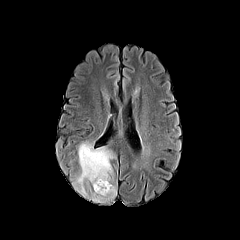
FLAIR MR.
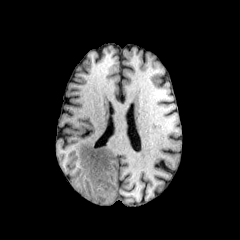
T1-weighted MR image.
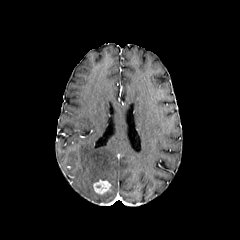
Same slice, post-contrast T1-weighted MRI.
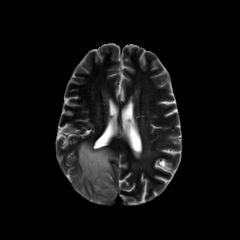
Same slice, T2-weighted magnetic resonance.
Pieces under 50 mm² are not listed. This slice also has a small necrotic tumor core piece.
enhancing tumor at x1=93, y1=179, x2=111, y2=194
peritumoral edema at x1=73, y1=142, x2=116, y2=202